FLAIR MR.
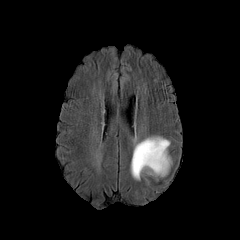
T1-weighted magnetic resonance.
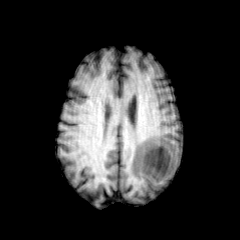
Post-contrast T1-weighted MR image.
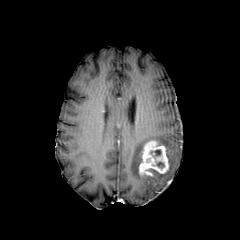
T2-weighted MRI.
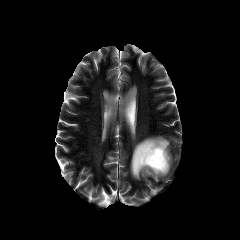
Head; Axial view; Image size 240x240
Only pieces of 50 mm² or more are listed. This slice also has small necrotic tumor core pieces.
• peritumoral edema: 131, 136, 171, 180; 151, 167, 169, 177
• enhancing tumor: 139, 140, 169, 177